Slice index 92; Axial slice
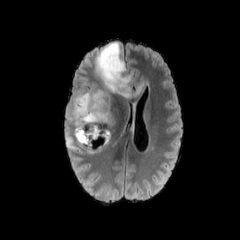
FLAIR magnetic resonance.
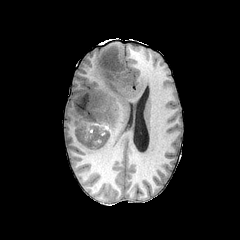
Same slice, T1-weighted MRI.
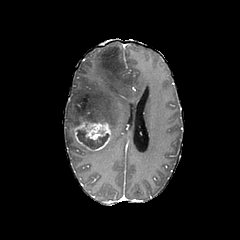
Post-contrast T1-weighted magnetic resonance.
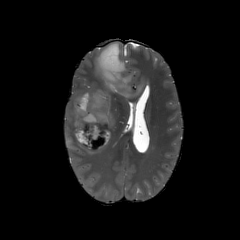
T2-weighted magnetic resonance of the same slice.
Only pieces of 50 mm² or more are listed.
necrotic tumor core = 77,130,108,148
peritumoral edema = 64,42,148,154
enhancing tumor = 74,122,111,150